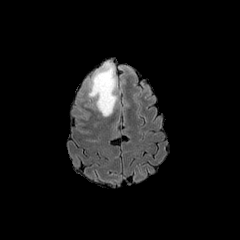
FLAIR MR image.
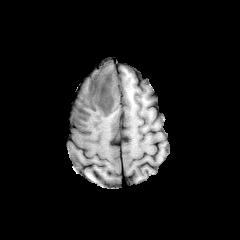
Same slice, T1-weighted MR.
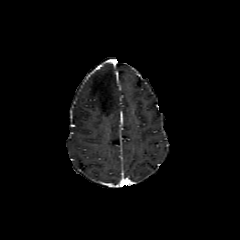
Post-contrast T1-weighted MR.
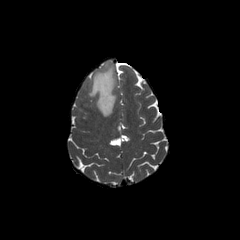
T2-weighted MR image.
Axial plane; 240x240; Head
Segmented structures:
* peritumoral edema: 88 61 117 116